FLAIR MR image.
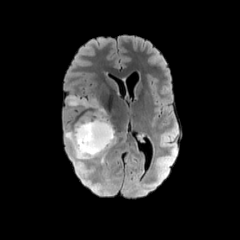
T1-weighted MR.
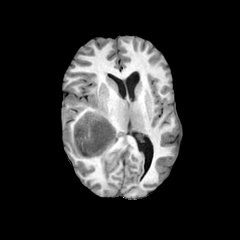
Post-contrast T1-weighted magnetic resonance.
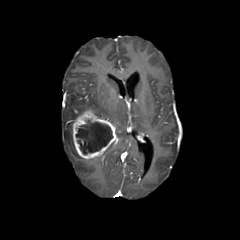
T2-weighted MR.
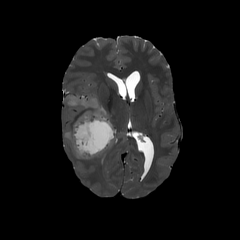
Brain | 240x240 px
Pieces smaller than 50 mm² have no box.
The largest enhancing tumor region lies within (x1=73, y1=110, x2=117, y2=158). The necrotic tumor core appears at (x1=76, y1=120, x2=112, y2=154). The 2 largest peritumoral edema regions are located at (x1=68, y1=96, x2=106, y2=118), (x1=65, y1=131, x2=83, y2=158).